FLAIR MRI.
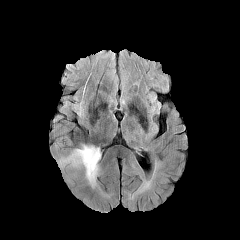
T1-weighted MR.
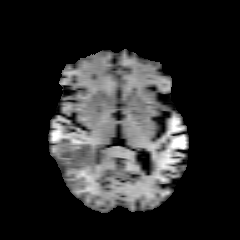
Post-contrast T1-weighted MR.
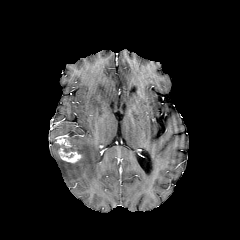
T2-weighted MRI.
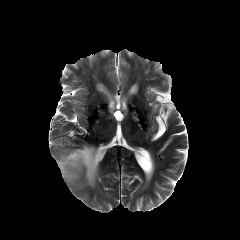
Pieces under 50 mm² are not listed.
peritumoral edema: {"x1": 56, "y1": 144, "x2": 100, "y2": 186} | enhancing tumor: {"x1": 55, "y1": 135, "x2": 82, "y2": 163}